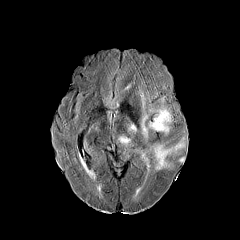
FLAIR MR image.
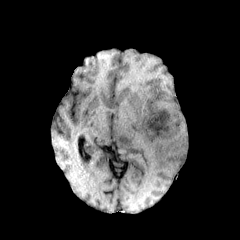
T1-weighted magnetic resonance.
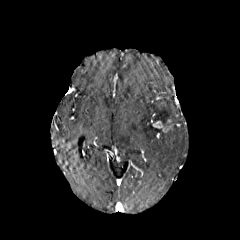
Post-contrast T1-weighted MR image.
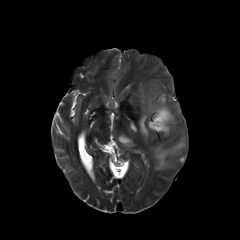
Same slice, T2-weighted magnetic resonance.
Axial slice
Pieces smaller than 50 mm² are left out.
peritumoral edema: box(118, 135, 129, 144); box(149, 120, 168, 134); box(141, 93, 145, 107); box(127, 123, 137, 130); box(139, 104, 183, 169) | enhancing tumor: box(152, 121, 170, 132)